Brain; Image width 240 mm; Image size 240x240; Axial slice
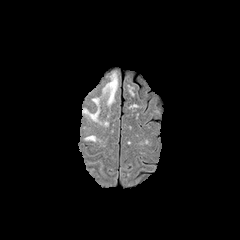
FLAIR MR.
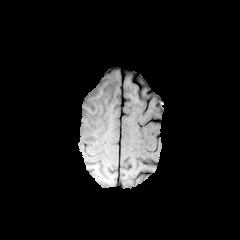
T1-weighted MR.
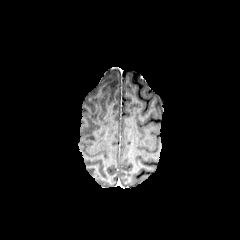
Post-contrast T1-weighted magnetic resonance of the same slice.
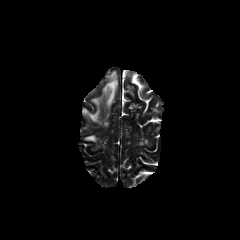
T2-weighted MR of the same slice.
2 peritumoral edema regions are bounded by bbox(82, 71, 118, 126); bbox(85, 135, 96, 141).